FLAIR MR.
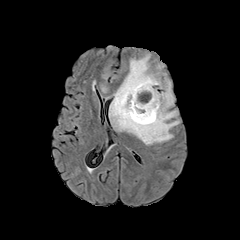
T1-weighted MR image.
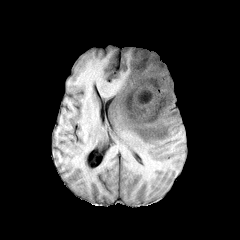
Post-contrast T1-weighted magnetic resonance.
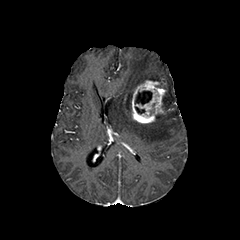
T2-weighted MR image.
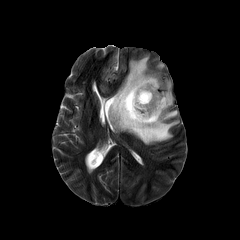
Head.
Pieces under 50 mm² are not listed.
The largest necrotic tumor core region is located at box=[135, 91, 152, 104]. The largest peritumoral edema region appears at box=[109, 54, 179, 145]. The largest enhancing tumor region is bounded by box=[131, 80, 165, 123].